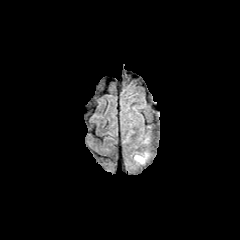
FLAIR MRI.
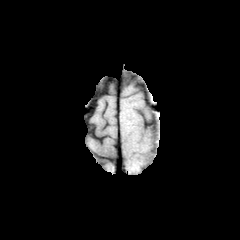
T1-weighted MRI.
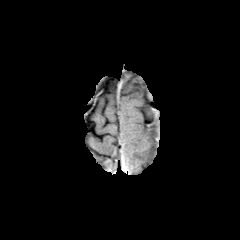
Same slice, post-contrast T1-weighted MR.
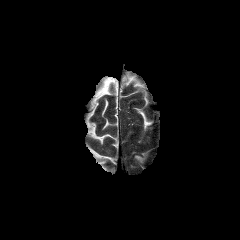
T2-weighted MR image.
Head.
peritumoral edema — {"x1": 135, "y1": 155, "x2": 144, "y2": 162}